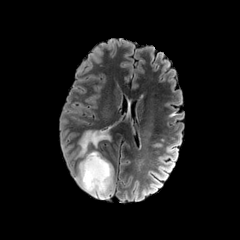
FLAIR MRI.
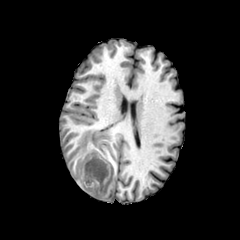
T1-weighted MRI.
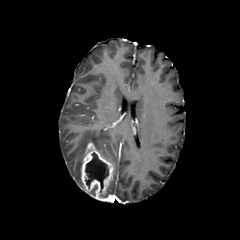
Post-contrast T1-weighted magnetic resonance.
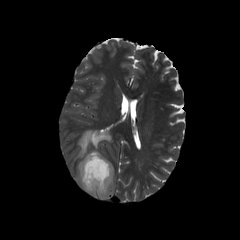
T2-weighted MR image.
Head. Image size 240x240. Axial view.
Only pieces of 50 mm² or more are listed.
<segmentation>
  <enhancing_tumor>rect(80, 143, 113, 200)</enhancing_tumor>
  <peritumoral_edema>rect(109, 175, 114, 194); rect(75, 128, 111, 189)</peritumoral_edema>
  <necrotic_tumor_core>rect(85, 152, 108, 192)</necrotic_tumor_core>
</segmentation>